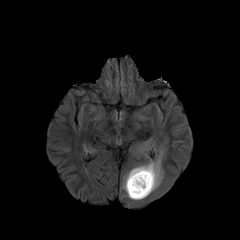
FLAIR MR.
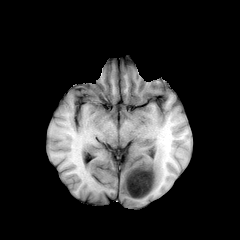
T1-weighted MRI.
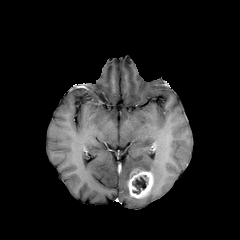
Post-contrast T1-weighted MRI.
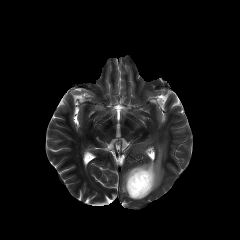
T2-weighted MR.
Brain. Image size 240x240.
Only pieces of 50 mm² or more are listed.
Findings:
• enhancing tumor: box=[127, 168, 154, 198]
• peritumoral edema: box=[121, 148, 163, 200]
• necrotic tumor core: box=[132, 176, 147, 194]